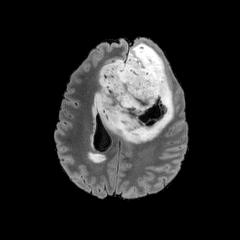
FLAIR MRI.
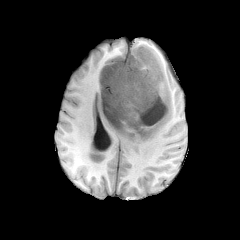
T1-weighted MR.
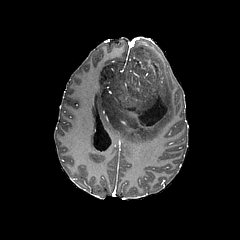
Same slice, post-contrast T1-weighted MR.
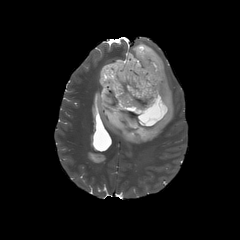
T2-weighted MRI.
Image size 240x240. Axial plane.
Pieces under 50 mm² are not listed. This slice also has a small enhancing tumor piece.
necrotic tumor core at [100, 51, 169, 130]
peritumoral edema at [92, 43, 173, 142]